FLAIR MR image.
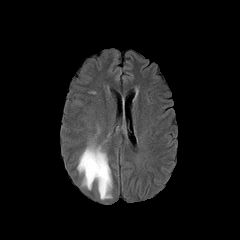
T1-weighted MR.
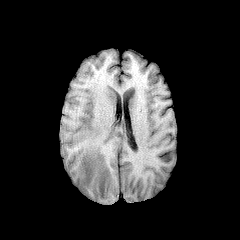
Post-contrast T1-weighted magnetic resonance.
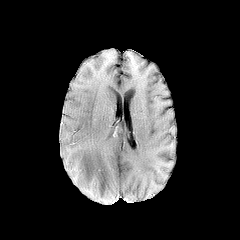
T2-weighted MRI.
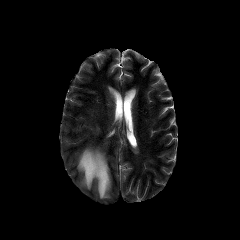
Findings:
* peritumoral edema: 77 144 112 199